Head, Axial plane
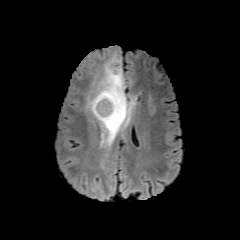
FLAIR MR image.
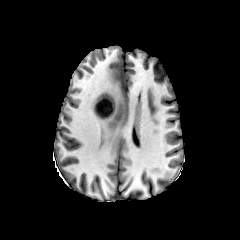
T1-weighted MR.
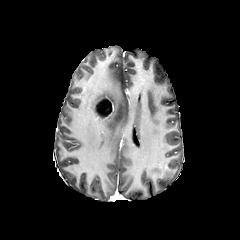
Same slice, post-contrast T1-weighted MRI.
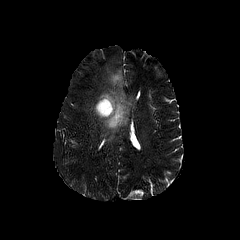
Same slice, T2-weighted magnetic resonance.
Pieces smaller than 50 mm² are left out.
{"peritumoral_edema": ["(87, 58, 135, 146)"], "necrotic_tumor_core": ["(96, 98, 112, 117)"], "enhancing_tumor": ["(94, 97, 114, 119)"]}